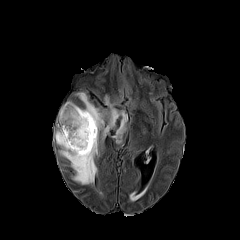
FLAIR MR image.
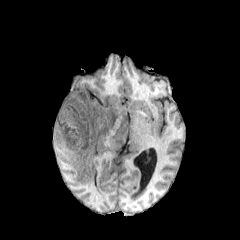
T1-weighted magnetic resonance.
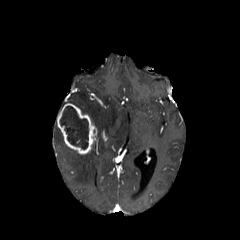
Post-contrast T1-weighted MR image.
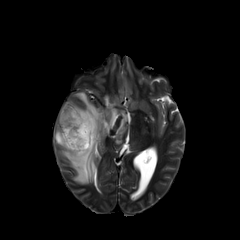
T2-weighted MRI of the same slice.
Head
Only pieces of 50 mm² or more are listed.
peritumoral edema = x1=54 y1=128 x2=97 y2=184, x1=129 y1=187 x2=146 y2=201, x1=76 y1=92 x2=127 y2=143
necrotic tumor core = x1=60 y1=106 x2=88 y2=149
enhancing tumor = x1=57 y1=103 x2=97 y2=154